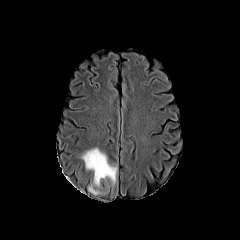
FLAIR MRI.
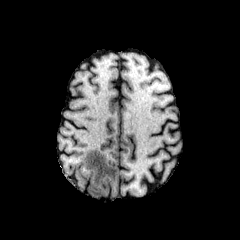
T1-weighted magnetic resonance.
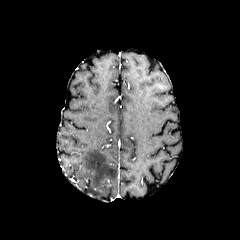
Post-contrast T1-weighted magnetic resonance of the same slice.
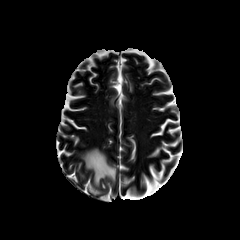
T2-weighted MR.
Brain.
The peritumoral edema is bounded by (80,147,118,195).